240x240 px, Axial view, Brain
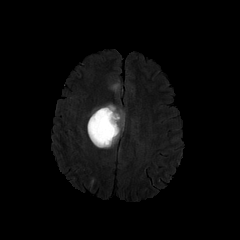
FLAIR MR.
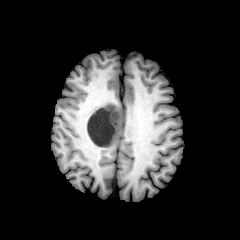
T1-weighted MR.
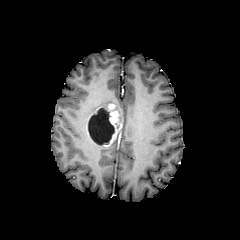
Post-contrast T1-weighted magnetic resonance.
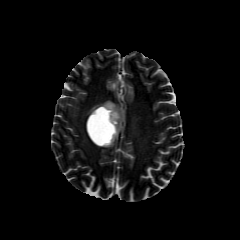
T2-weighted MR image.
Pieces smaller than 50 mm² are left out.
{"enhancing_tumor": ["[x1=100, y1=104, x2=122, y2=147]"], "peritumoral_edema": ["[x1=95, y1=105, x2=125, y2=148]"], "necrotic_tumor_core": ["[x1=88, y1=108, x2=114, y2=145]"]}